Slice 79 of 155 | Image size 240x240 | Head | Axial plane
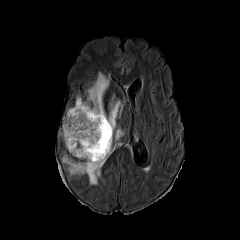
FLAIR MRI.
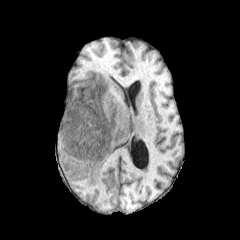
T1-weighted MR image of the same slice.
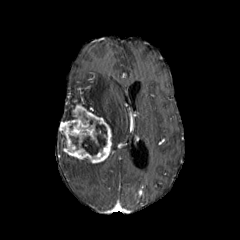
Post-contrast T1-weighted MR of the same slice.
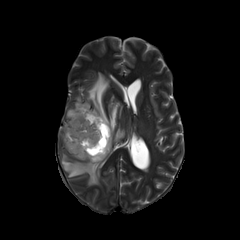
T2-weighted magnetic resonance.
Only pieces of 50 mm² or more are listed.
peritumoral edema = l=62, t=155, r=105, b=185; l=66, t=108, r=73, b=120; l=76, t=72, r=124, b=144
necrotic tumor core = l=70, t=136, r=78, b=148; l=81, t=121, r=106, b=155
enhancing tumor = l=59, t=104, r=111, b=163